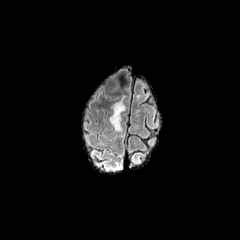
FLAIR MR.
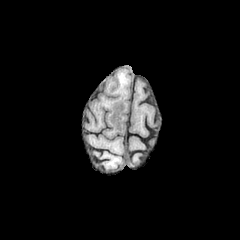
T1-weighted MRI.
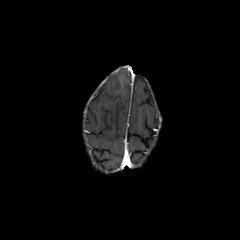
Post-contrast T1-weighted MRI.
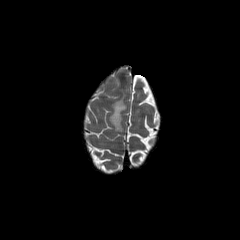
T2-weighted MR image.
Brain; 240x240 px
{
  "peritumoral_edema": [
    {"x1": 109, "y1": 97, "x2": 125, "y2": 131}
  ]
}